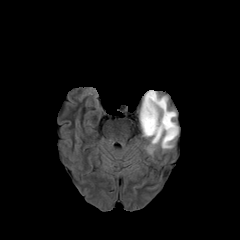
FLAIR magnetic resonance.
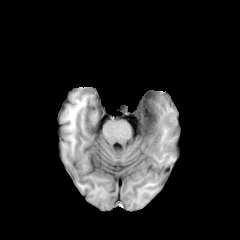
T1-weighted MR image.
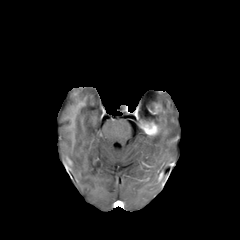
Post-contrast T1-weighted MR of the same slice.
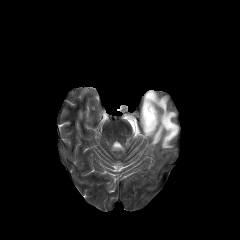
T2-weighted MR image of the same slice.
Axial view
2 enhancing tumor regions are bounded by 140 117 159 135, 147 103 161 115. The peritumoral edema is located at 140 90 178 153.